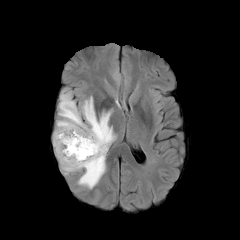
FLAIR MR.
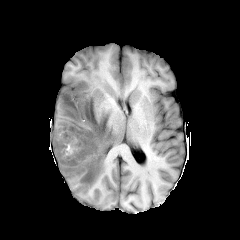
T1-weighted MR image.
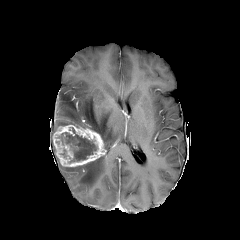
Post-contrast T1-weighted MRI of the same slice.
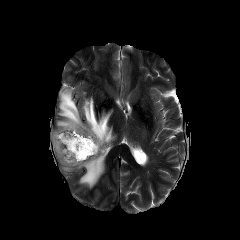
T2-weighted MRI.
Brain | Image size 240x240 | Axial slice
necrotic tumor core: x1=64, y1=134, x2=95, y2=161 | peritumoral edema: x1=61, y1=155, x2=104, y2=188; x1=56, y1=88, x2=116, y2=149 | enhancing tumor: x1=52, y1=125, x2=105, y2=166